FLAIR MR image.
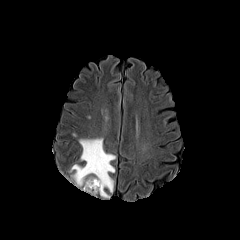
T1-weighted MR image.
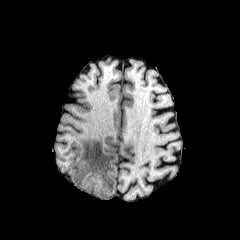
Post-contrast T1-weighted MRI.
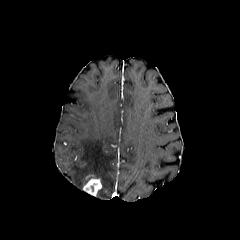
T2-weighted MRI.
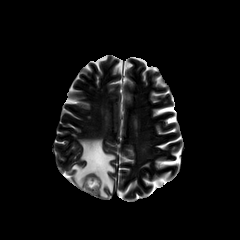
Head
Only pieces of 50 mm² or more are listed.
Findings:
• enhancing tumor: [82, 177, 101, 195]
• peritumoral edema: [70, 138, 115, 198]